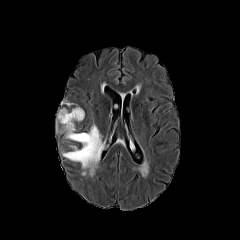
FLAIR MR.
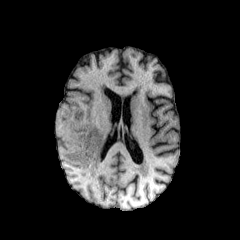
Same slice, T1-weighted MR image.
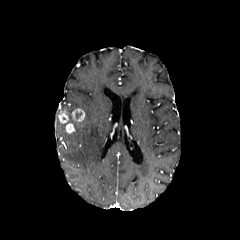
Post-contrast T1-weighted MR of the same slice.
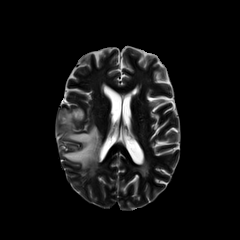
T2-weighted magnetic resonance of the same slice.
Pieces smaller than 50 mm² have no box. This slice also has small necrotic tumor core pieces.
The largest peritumoral edema region is located at 56, 111, 104, 176. 3 enhancing tumor regions are bounded by 65, 123, 75, 133; 58, 110, 69, 123; 71, 108, 84, 123.